Brain, Axial slice, 240x240 px
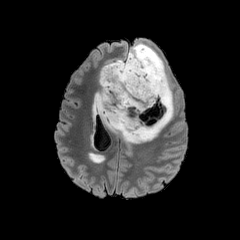
FLAIR magnetic resonance.
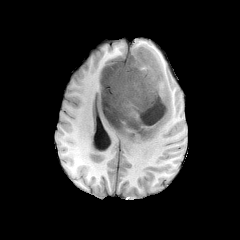
T1-weighted MR image of the same slice.
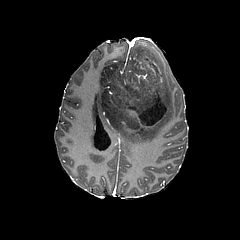
Same slice, post-contrast T1-weighted MR.
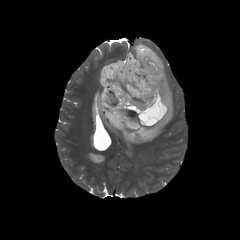
T2-weighted magnetic resonance of the same slice.
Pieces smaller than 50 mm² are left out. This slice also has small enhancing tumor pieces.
The 2 largest peritumoral edema regions appear at (x1=99, y1=62, x2=112, y2=86), (x1=92, y1=43, x2=173, y2=148). The necrotic tumor core is located at (x1=100, y1=50, x2=168, y2=130).